Head
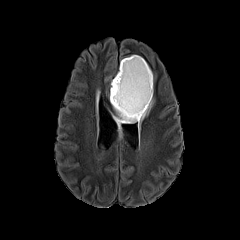
FLAIR magnetic resonance.
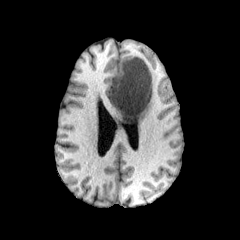
T1-weighted MRI.
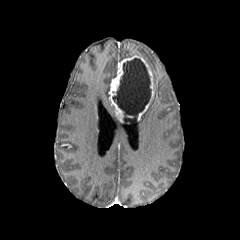
Post-contrast T1-weighted MRI of the same slice.
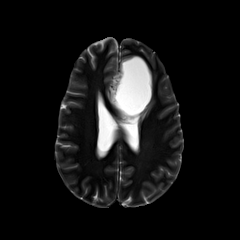
Same slice, T2-weighted magnetic resonance.
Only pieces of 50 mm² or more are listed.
The largest enhancing tumor region is bounded by bbox=[109, 55, 153, 122]. The 2 largest peritumoral edema regions are bounded by bbox=[136, 96, 154, 129]; bbox=[112, 112, 135, 129]. The necrotic tumor core is located at bbox=[112, 58, 151, 122].